Axial view, Image size 240x240, Head
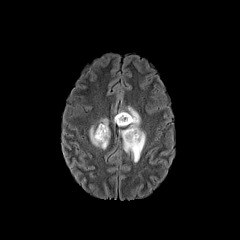
FLAIR MR image.
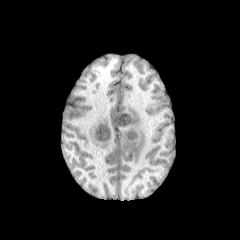
Same slice, T1-weighted magnetic resonance.
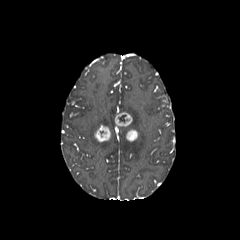
Post-contrast T1-weighted MR.
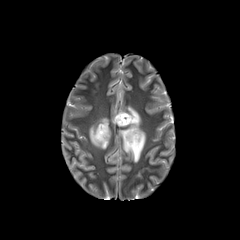
T2-weighted MRI of the same slice.
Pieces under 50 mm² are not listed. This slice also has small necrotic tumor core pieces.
enhancing tumor: box(126, 129, 138, 141); box(94, 125, 110, 142); box(115, 112, 132, 126)
peritumoral edema: box(97, 118, 108, 128); box(119, 106, 145, 162); box(89, 125, 108, 149)